Head | Axial slice
FLAIR MR.
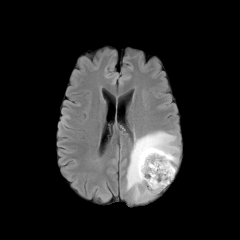
T1-weighted MR.
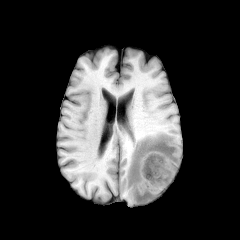
Post-contrast T1-weighted magnetic resonance.
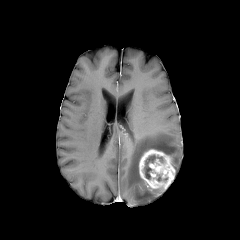
T2-weighted MR image.
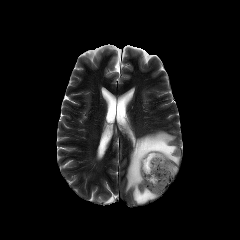
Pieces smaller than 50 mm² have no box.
The largest peritumoral edema region is bounded by (126, 131, 179, 204). The enhancing tumor is located at (139, 149, 175, 189). The largest necrotic tumor core region lies within (144, 155, 163, 179).